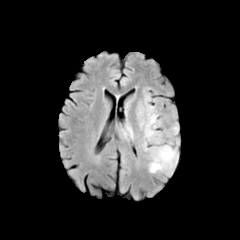
FLAIR MR image.
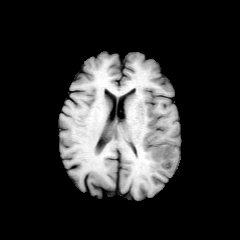
T1-weighted MR image of the same slice.
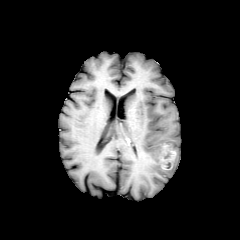
Post-contrast T1-weighted MRI of the same slice.
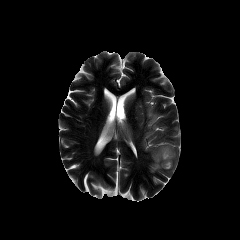
Same slice, T2-weighted magnetic resonance.
Brain | Axial slice
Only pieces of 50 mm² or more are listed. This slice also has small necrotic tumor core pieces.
Findings:
- enhancing tumor: 158, 145, 176, 169
- peritumoral edema: 145, 95, 158, 139; 149, 142, 178, 175